FLAIR MR.
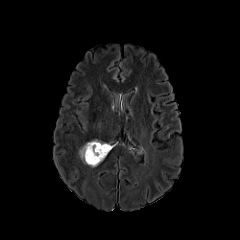
T1-weighted MR image.
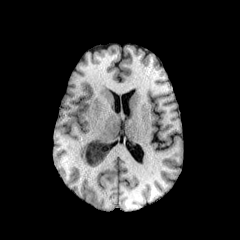
Post-contrast T1-weighted MR.
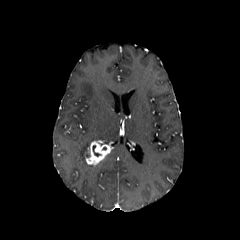
T2-weighted MR.
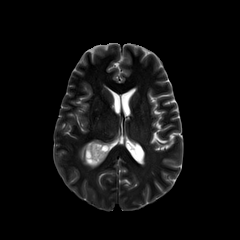
Axial slice
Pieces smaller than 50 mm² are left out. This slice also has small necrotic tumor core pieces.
The enhancing tumor lies within l=85, t=141, r=111, b=165. The largest peritumoral edema region lies within l=78, t=142, r=100, b=167.